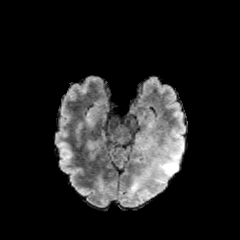
FLAIR MR.
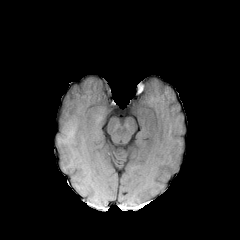
T1-weighted MRI.
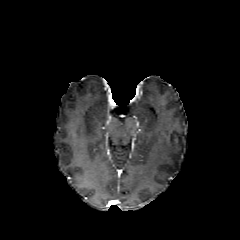
Post-contrast T1-weighted MR image.
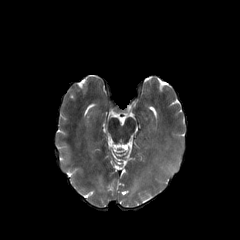
Same slice, T2-weighted MRI.
Axial plane
peritumoral edema: (x1=137, y1=142, x2=182, y2=183)